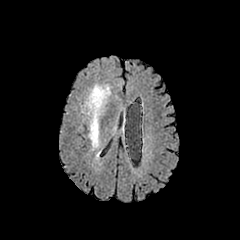
FLAIR MR image.
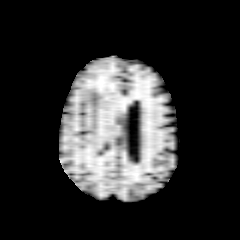
T1-weighted magnetic resonance.
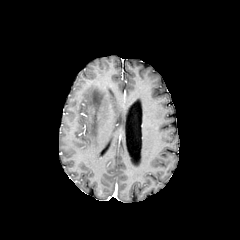
Post-contrast T1-weighted MRI of the same slice.
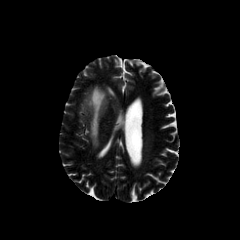
T2-weighted MR image.
Axial view | Brain
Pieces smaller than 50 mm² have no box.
peritumoral edema: [86, 84, 112, 150]